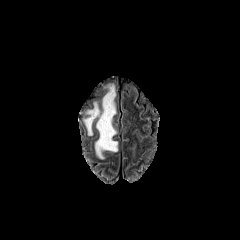
FLAIR MR image.
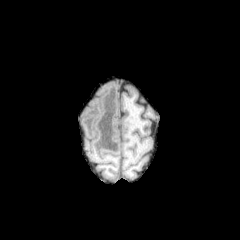
T1-weighted magnetic resonance.
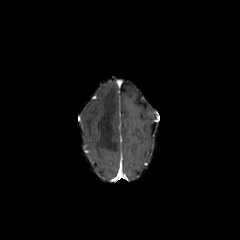
Post-contrast T1-weighted MR.
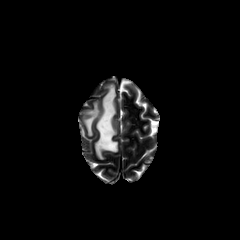
T2-weighted MRI.
Head
peritumoral_edema:
  - left=83, top=84, right=118, bottom=158